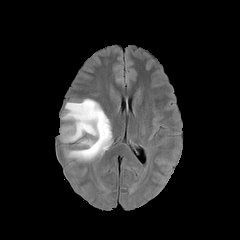
FLAIR MR.
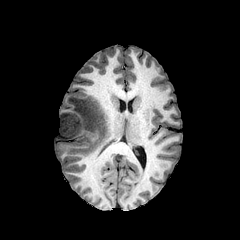
T1-weighted MRI.
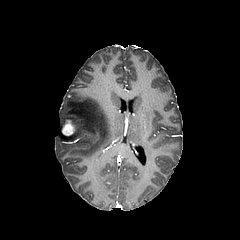
Post-contrast T1-weighted MR.
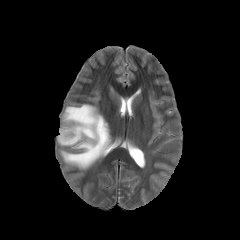
Same slice, T2-weighted magnetic resonance.
Image size 240x240; Axial view
enhancing tumor: <box>62,120,74,135</box> | peritumoral edema: <box>59,99,112,163</box>